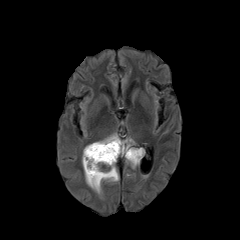
FLAIR MR image.
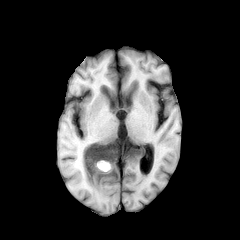
Same slice, T1-weighted MRI.
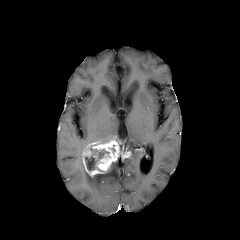
Post-contrast T1-weighted MRI.
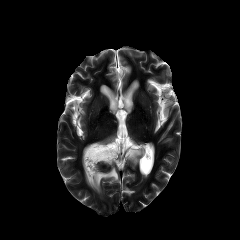
T2-weighted MR image of the same slice.
Brain, Axial plane
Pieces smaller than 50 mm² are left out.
necrotic tumor core — <box>85,156,96,170</box>
enhancing tumor — <box>83,136,132,177</box>, <box>135,148,144,157</box>
peritumoral edema — <box>83,163,118,193</box>, <box>124,138,142,168</box>